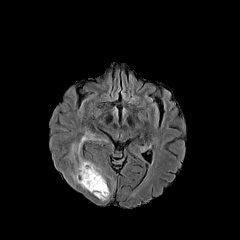
FLAIR MRI.
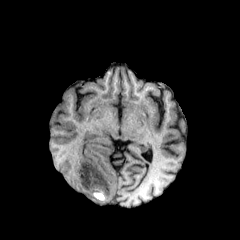
Same slice, T1-weighted MRI.
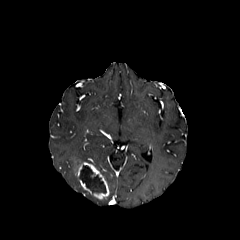
Post-contrast T1-weighted MR image.
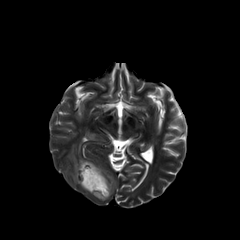
T2-weighted MR image of the same slice.
Head; Image size 240x240
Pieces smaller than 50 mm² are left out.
<segmentation>
  <peritumoral_edema>(70,126,108,174)</peritumoral_edema>
  <enhancing_tumor>(77,162,108,199)</enhancing_tumor>
  <necrotic_tumor_core>(80,165,106,193)</necrotic_tumor_core>
</segmentation>